Head; Axial plane; Slice index 106
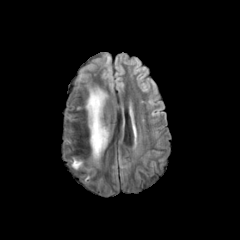
FLAIR magnetic resonance.
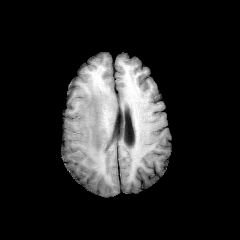
T1-weighted MR.
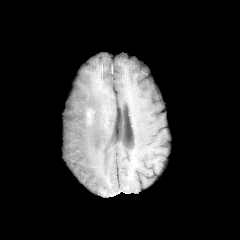
Post-contrast T1-weighted MR image.
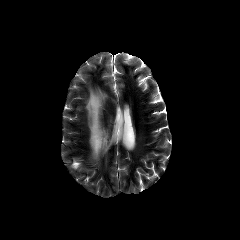
T2-weighted MR.
peritumoral edema: left=72, top=160, right=81, bottom=168; left=86, top=89, right=107, bottom=158 | enhancing tumor: left=86, top=109, right=93, bottom=124